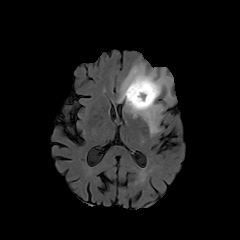
FLAIR magnetic resonance.
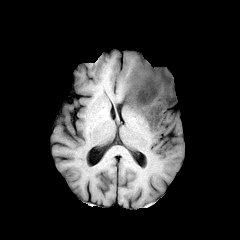
T1-weighted MR image of the same slice.
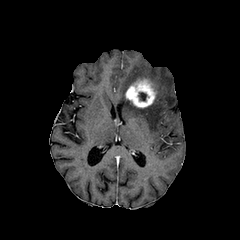
Post-contrast T1-weighted MR.
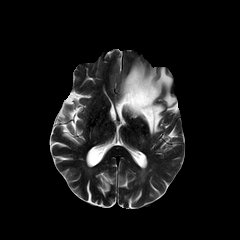
T2-weighted MRI.
Axial view
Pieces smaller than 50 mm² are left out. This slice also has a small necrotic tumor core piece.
The peritumoral edema lies within 118, 61, 175, 135. The enhancing tumor appears at 125, 78, 157, 108.